FLAIR magnetic resonance.
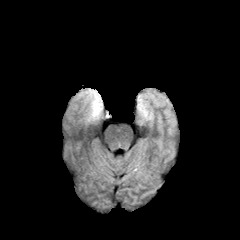
T1-weighted MR image.
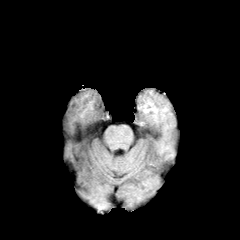
Post-contrast T1-weighted magnetic resonance.
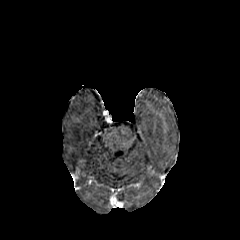
T2-weighted MR.
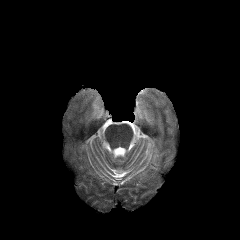
Axial slice | Head
Segmented structures:
- peritumoral edema: x1=138, y1=101, x2=152, y2=119; x1=80, y1=89, x2=102, y2=121